FLAIR MRI.
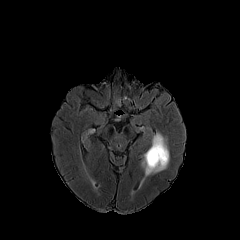
T1-weighted MR.
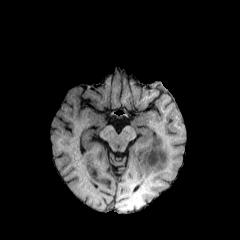
Post-contrast T1-weighted MR.
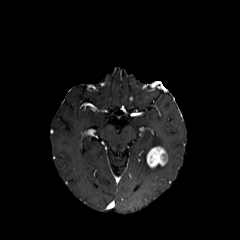
T2-weighted MR image.
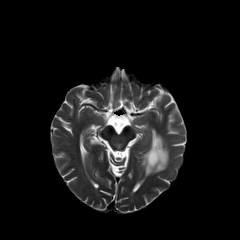
Axial slice | 240x240
peritumoral edema = (141,132,169,180)
enhancing tumor = (146,146,167,168)